FLAIR magnetic resonance.
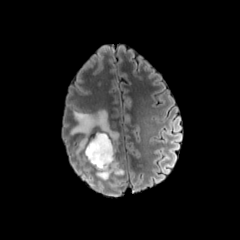
T1-weighted magnetic resonance.
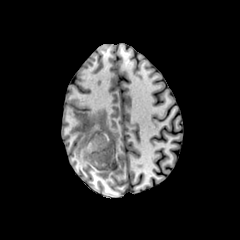
Post-contrast T1-weighted MR image.
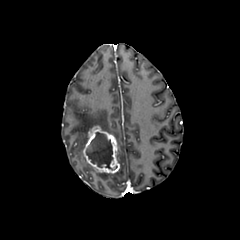
T2-weighted MRI.
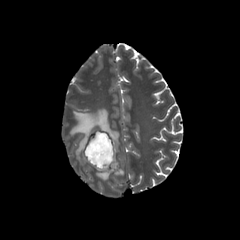
Axial slice
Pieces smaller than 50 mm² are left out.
<segmentation>
  <necrotic_tumor_core>bbox=[86, 132, 112, 169]</necrotic_tumor_core>
  <enhancing_tumor>bbox=[82, 126, 119, 173]</enhancing_tumor>
  <peritumoral_edema>bbox=[70, 109, 118, 152]; bbox=[96, 164, 123, 180]</peritumoral_edema>
</segmentation>